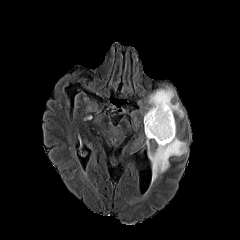
FLAIR MR.
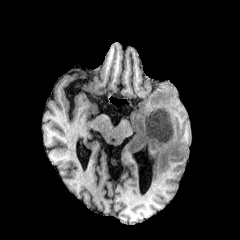
T1-weighted MR.
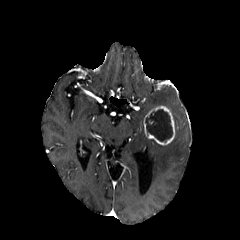
Post-contrast T1-weighted MR of the same slice.
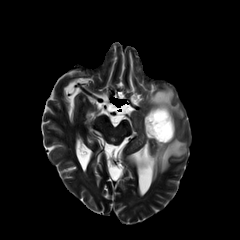
T2-weighted MRI.
Axial plane, Image size 240x240
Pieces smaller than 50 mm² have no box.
The 2 largest peritumoral edema regions are bounded by 146, 130, 187, 184; 145, 87, 184, 118. The largest enhancing tumor region is located at 143, 105, 175, 145. The necrotic tumor core lies within 145, 109, 172, 141.